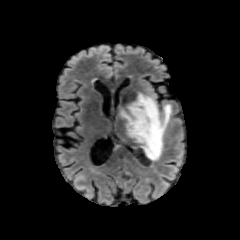
FLAIR MR image.
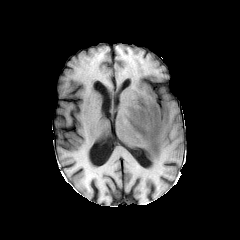
T1-weighted MR image.
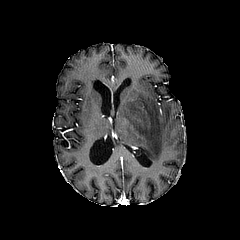
Same slice, post-contrast T1-weighted MR image.
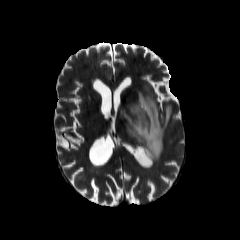
T2-weighted MR image of the same slice.
Brain.
The peritumoral edema appears at [115, 92, 171, 168].